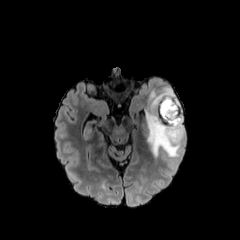
FLAIR MRI.
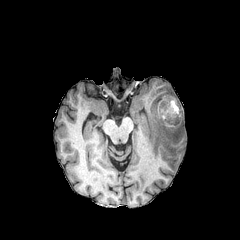
T1-weighted MR.
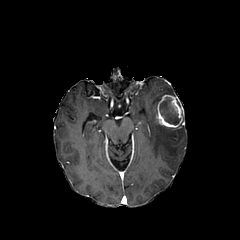
Post-contrast T1-weighted MRI.
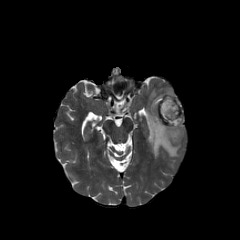
Same slice, T2-weighted magnetic resonance.
240x240, Axial plane
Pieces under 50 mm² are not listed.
{"enhancing_tumor": ["154, 94, 183, 128"], "necrotic_tumor_core": ["159, 97, 180, 124"], "peritumoral_edema": ["144, 87, 184, 157"]}